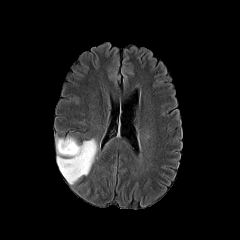
FLAIR magnetic resonance.
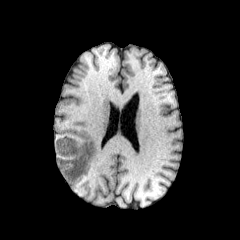
T1-weighted MRI of the same slice.
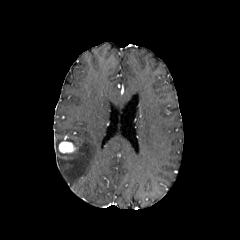
Same slice, post-contrast T1-weighted magnetic resonance.
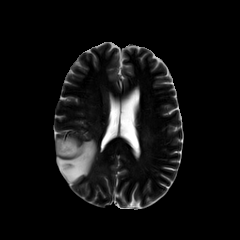
Same slice, T2-weighted MR.
Axial slice. Brain.
The enhancing tumor appears at [x1=58, y1=140, x2=76, y2=153]. The peritumoral edema lies within [x1=56, y1=137, x2=97, y2=184].